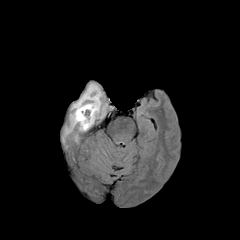
FLAIR MR image.
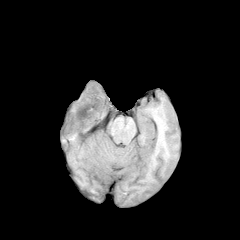
T1-weighted MRI.
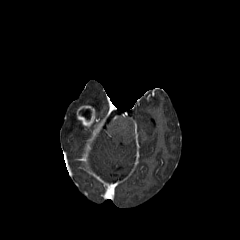
Post-contrast T1-weighted MRI of the same slice.
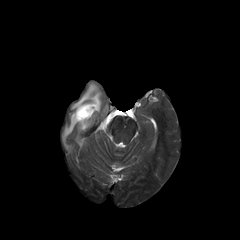
T2-weighted MR of the same slice.
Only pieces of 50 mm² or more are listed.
The necrotic tumor core is bounded by <box>79,109,91,119</box>. The enhancing tumor appears at <box>76,105,96,129</box>. The largest peritumoral edema region is at <box>62,83,105,143</box>.